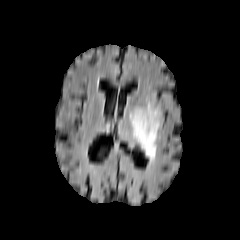
FLAIR MR image.
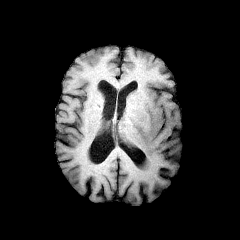
T1-weighted MRI of the same slice.
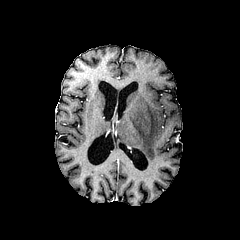
Post-contrast T1-weighted MR image of the same slice.
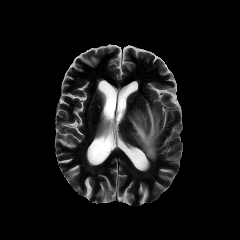
T2-weighted MRI of the same slice.
Axial plane, 240x240 px, Head
peritumoral edema = x1=129, y1=102, x2=160, y2=160